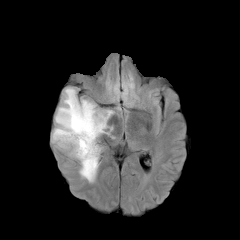
FLAIR magnetic resonance.
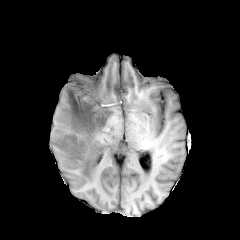
T1-weighted MR.
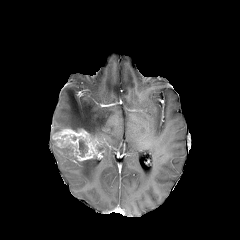
Post-contrast T1-weighted MR.
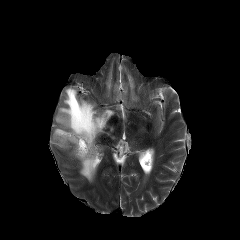
Same slice, T2-weighted MRI.
Image size 240x240 | Head
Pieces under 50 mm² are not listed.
Findings:
• necrotic tumor core: l=79, t=139, r=87, b=156
• peritumoral edema: l=53, t=87, r=113, b=137; l=79, t=157, r=98, b=182; l=59, t=148, r=75, b=161
• enhancing tumor: l=52, t=128, r=97, b=161